FLAIR magnetic resonance.
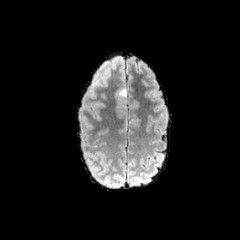
T1-weighted MR.
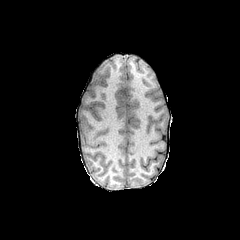
Post-contrast T1-weighted MRI.
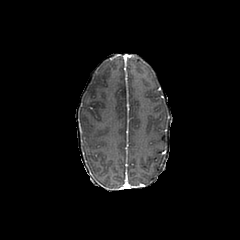
T2-weighted MRI.
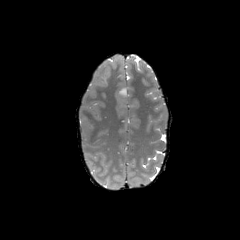
Axial slice
* peritumoral edema: box=[115, 88, 126, 113]